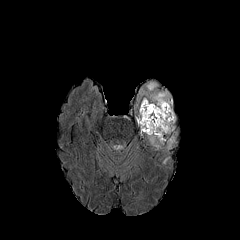
FLAIR magnetic resonance.
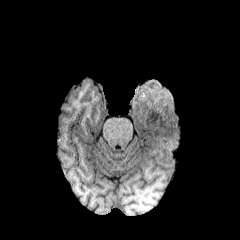
Same slice, T1-weighted MR.
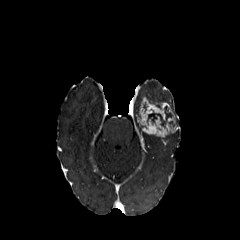
Post-contrast T1-weighted MRI.
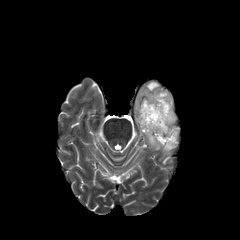
T2-weighted MR image.
Brain. 240x240.
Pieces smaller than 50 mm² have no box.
necrotic tumor core: region(147, 106, 172, 126)
enhancing tumor: region(137, 97, 177, 137)
peritumoral edema: region(144, 129, 178, 149); region(136, 82, 172, 133)